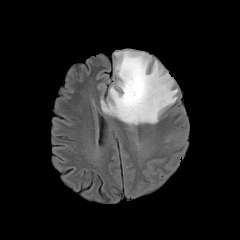
FLAIR MR image.
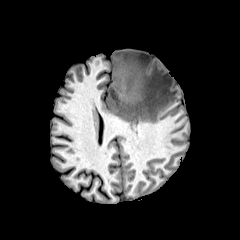
T1-weighted MRI.
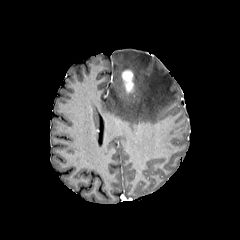
Post-contrast T1-weighted MR of the same slice.
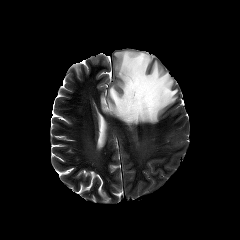
T2-weighted magnetic resonance.
Brain
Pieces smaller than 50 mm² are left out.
peritumoral edema: 101:50:178:147 | enhancing tumor: 122:70:133:92